FLAIR MR image.
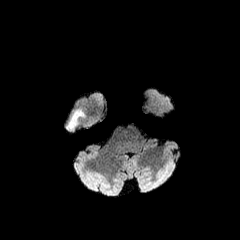
T1-weighted MRI.
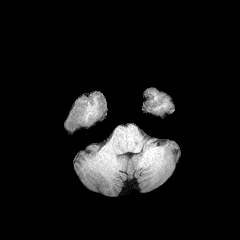
Post-contrast T1-weighted MR.
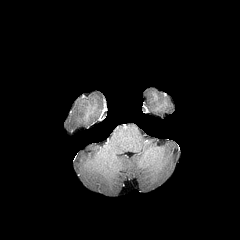
T2-weighted MRI.
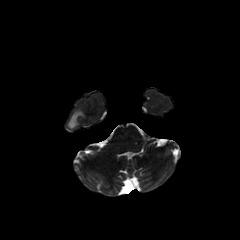
240x240 px; Axial slice; Head
Findings:
* peritumoral edema: 70:112:82:126